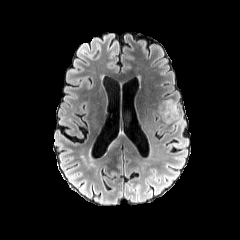
FLAIR magnetic resonance.
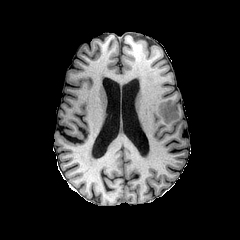
Same slice, T1-weighted MRI.
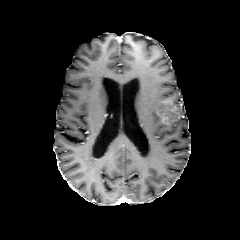
Post-contrast T1-weighted MR image.
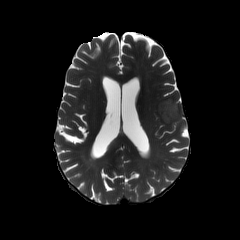
Same slice, T2-weighted MR image.
Axial slice
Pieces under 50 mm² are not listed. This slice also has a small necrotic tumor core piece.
{
  "peritumoral_edema": [
    "box(173, 101, 181, 122)"
  ],
  "enhancing_tumor": [
    "box(161, 99, 177, 124)"
  ]
}